FLAIR MR.
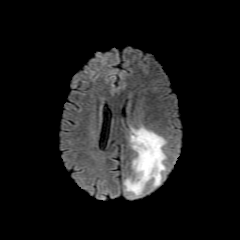
T1-weighted MR.
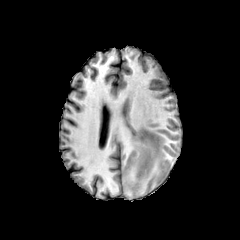
Post-contrast T1-weighted MR image.
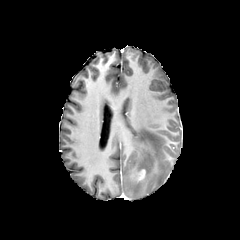
T2-weighted MR.
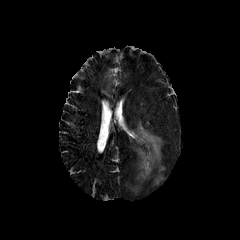
Image size 240x240, Axial plane, Brain
peritumoral edema: [x1=124, y1=125, x2=166, y2=196]
enhancing tumor: [x1=137, y1=169, x2=145, y2=182]